Axial view | Head | Image covers 240 mm x 240 mm | Image size 240x240
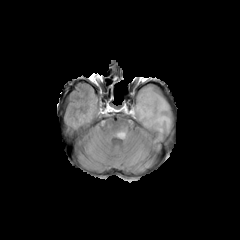
FLAIR MRI.
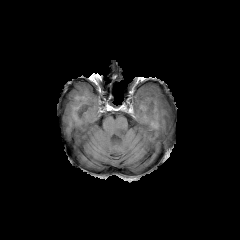
T1-weighted MR.
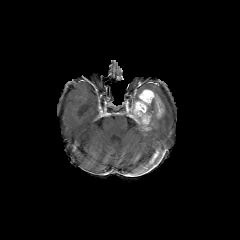
Same slice, post-contrast T1-weighted MR.
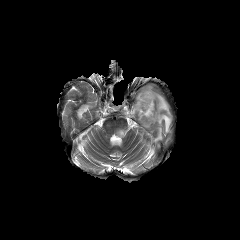
T2-weighted MRI of the same slice.
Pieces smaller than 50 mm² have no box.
enhancing_tumor:
  - (x1=126, y1=89, x2=164, y2=130)
peritumoral_edema:
  - (x1=113, y1=119, x2=133, y2=139)
  - (x1=147, y1=92, x2=171, y2=140)